FLAIR MR.
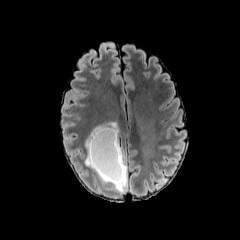
T1-weighted MR image.
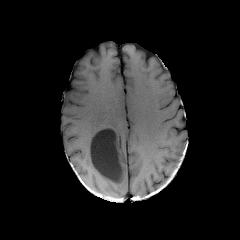
Post-contrast T1-weighted MRI.
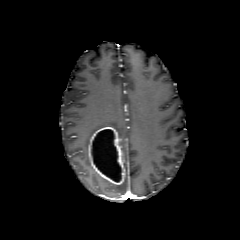
T2-weighted MR image.
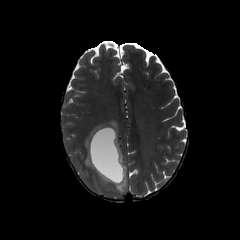
Head
peritumoral edema = box(84, 121, 127, 192)
enhancing tumor = box(88, 126, 125, 184)
necrotic tumor core = box(91, 129, 121, 182)